Brain; Slice 102 of 155; Image size 240x240
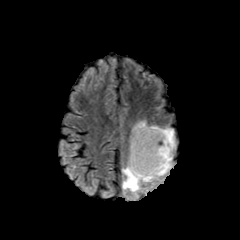
FLAIR MR.
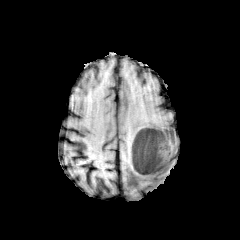
T1-weighted MRI.
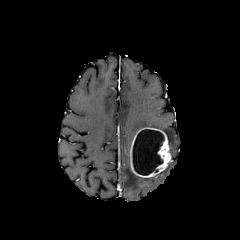
Same slice, post-contrast T1-weighted MRI.
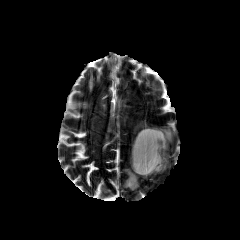
T2-weighted MR.
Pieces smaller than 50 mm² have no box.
enhancing_tumor:
  - 130,127,171,177
necrotic_tumor_core:
  - 132,129,164,175
peritumoral_edema:
  - 122,149,172,192
  - 130,120,175,158